Axial view; Brain; Slice 73 of 155
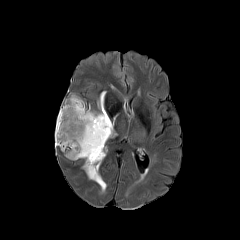
FLAIR MR.
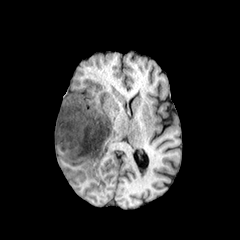
T1-weighted MR image.
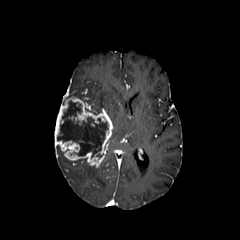
Post-contrast T1-weighted magnetic resonance of the same slice.
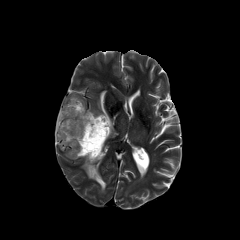
Same slice, T2-weighted MR.
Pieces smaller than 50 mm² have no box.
The largest necrotic tumor core region is located at x1=57, y1=101, x2=108, y2=157. The 2 largest peritumoral edema regions appear at x1=97, y1=91, x2=106, y2=111; x1=82, y1=158, x2=106, y2=193. The largest enhancing tumor region is at x1=54, y1=96, x2=113, y2=167.